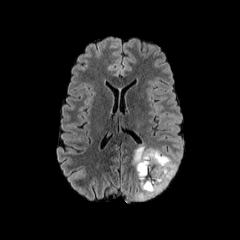
FLAIR MRI.
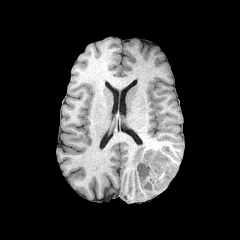
Same slice, T1-weighted MR.
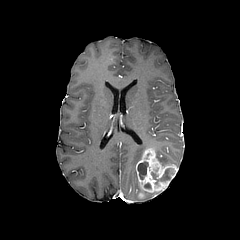
Post-contrast T1-weighted MR image of the same slice.
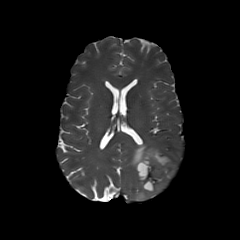
T2-weighted magnetic resonance.
Brain; Axial view
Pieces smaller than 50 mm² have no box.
{
  "peritumoral_edema": [
    "<box>132,143,177,200</box>"
  ],
  "enhancing_tumor": [
    "<box>136,148,177,192</box>"
  ],
  "necrotic_tumor_core": [
    "<box>138,161,148,179</box>",
    "<box>151,168,173,185</box>"
  ]
}